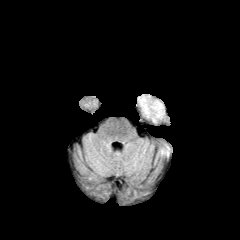
FLAIR MR image.
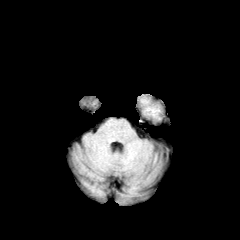
T1-weighted magnetic resonance of the same slice.
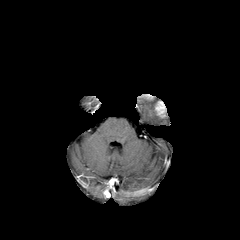
Same slice, post-contrast T1-weighted MR image.
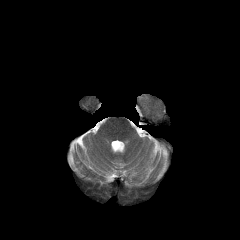
Same slice, T2-weighted magnetic resonance.
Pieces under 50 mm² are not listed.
The enhancing tumor is located at left=155, top=101, right=165, bottom=118. The largest peritumoral edema region lies within left=138, top=94, right=159, bottom=123.